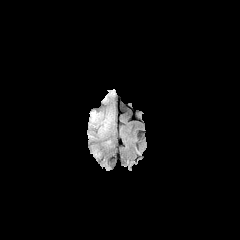
FLAIR magnetic resonance.
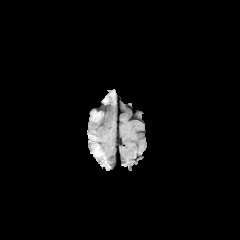
T1-weighted MR.
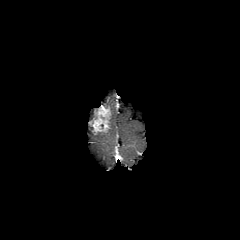
Post-contrast T1-weighted MRI of the same slice.
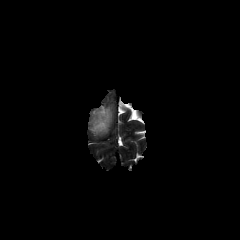
Same slice, T2-weighted MRI.
Axial slice
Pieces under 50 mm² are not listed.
peritumoral edema at bbox(88, 122, 106, 135)
enhancing tumor at bbox(89, 106, 111, 134)